240x240, Head
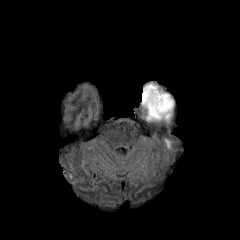
FLAIR MRI.
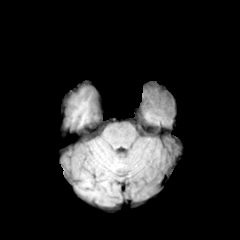
T1-weighted magnetic resonance.
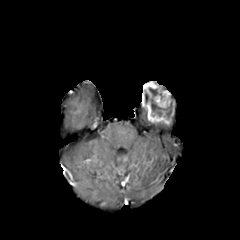
Post-contrast T1-weighted MR of the same slice.
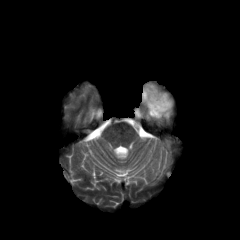
T2-weighted magnetic resonance of the same slice.
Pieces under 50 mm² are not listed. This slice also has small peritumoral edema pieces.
enhancing tumor — (141,82,173,124)
necrotic tumor core — (149,88,158,96), (151,99,171,118)